FLAIR MRI.
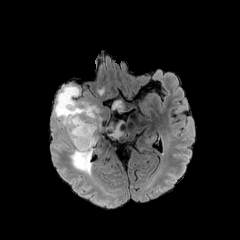
T1-weighted MRI.
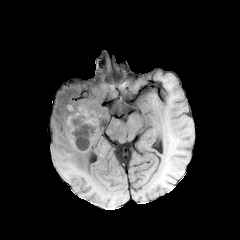
Post-contrast T1-weighted MR.
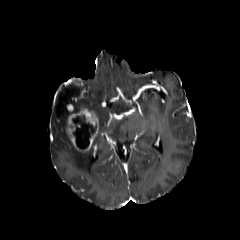
T2-weighted MRI.
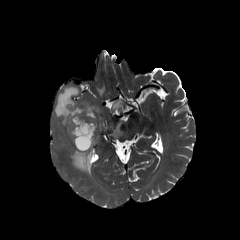
Head, Image size 240x240
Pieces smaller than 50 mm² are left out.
peritumoral edema — l=70, t=146, r=92, b=175; l=111, t=100, r=123, b=112; l=54, t=86, r=123, b=145
necrotic tumor core — l=71, t=115, r=97, b=148
enhancing tumor — l=67, t=104, r=98, b=150